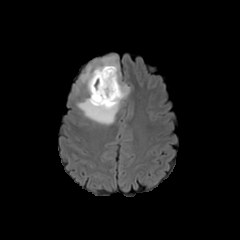
FLAIR MR.
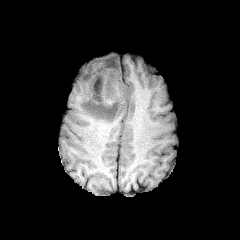
T1-weighted magnetic resonance of the same slice.
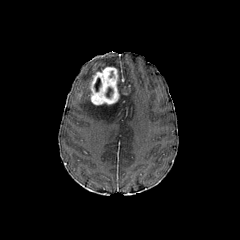
Post-contrast T1-weighted MR.
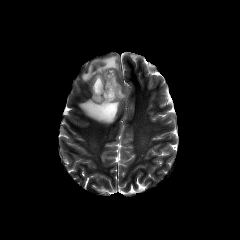
T2-weighted MR of the same slice.
Axial plane | 240x240 px
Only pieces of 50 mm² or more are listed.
{
  "peritumoral_edema": [
    "left=77, top=55, right=129, bottom=124"
  ],
  "necrotic_tumor_core": [
    "left=94, top=78, right=100, bottom=91",
    "left=106, top=87, right=112, bottom=97"
  ],
  "enhancing_tumor": [
    "left=89, top=67, right=119, bottom=105"
  ]
}